240x240 px, Image covers 240 mm x 240 mm
FLAIR MRI.
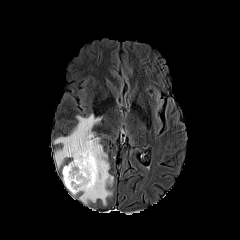
T1-weighted MR image.
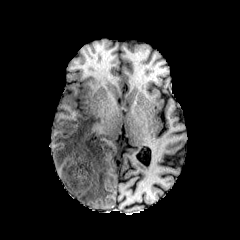
Post-contrast T1-weighted MR image.
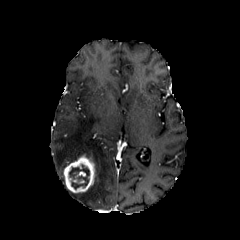
T2-weighted MRI.
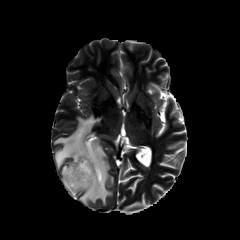
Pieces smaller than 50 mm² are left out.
<segmentation>
  <enhancing_tumor>{"x1": 63, "y1": 154, "x2": 95, "y2": 193}</enhancing_tumor>
  <necrotic_tumor_core>{"x1": 69, "y1": 165, "x2": 89, "y2": 189}</necrotic_tumor_core>
  <peritumoral_edema>{"x1": 54, "y1": 114, "x2": 113, "y2": 205}</peritumoral_edema>
</segmentation>